Slice 57/155. Axial slice. Brain.
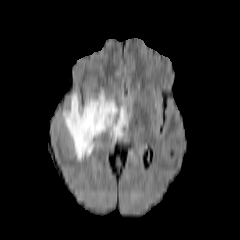
FLAIR MR image.
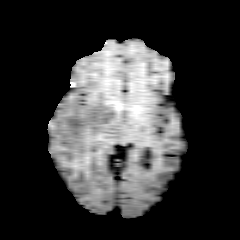
T1-weighted MRI.
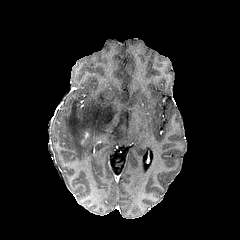
Post-contrast T1-weighted magnetic resonance.
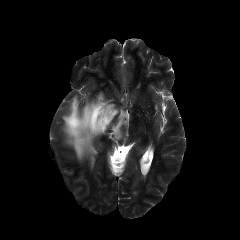
T2-weighted magnetic resonance.
The enhancing tumor is bounded by 81:132:89:144. The peritumoral edema is located at 63:91:128:160.